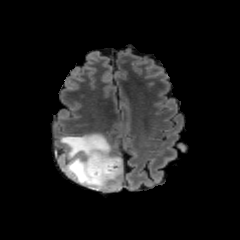
FLAIR MR image.
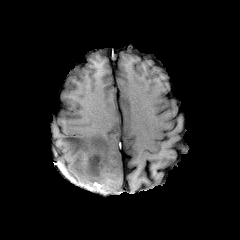
T1-weighted MR image of the same slice.
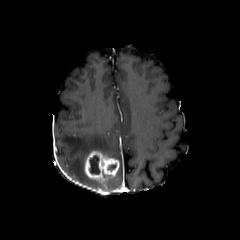
Same slice, post-contrast T1-weighted MR.
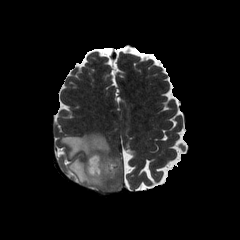
T2-weighted magnetic resonance.
Axial view.
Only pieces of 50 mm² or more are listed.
* enhancing tumor: left=84, top=151, right=120, bottom=183
* necrotic tumor core: left=89, top=155, right=99, bottom=174
* peritumoral edema: left=60, top=133, right=123, bottom=190